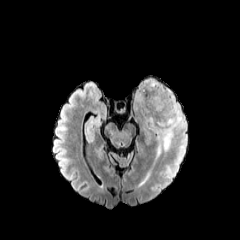
FLAIR MR.
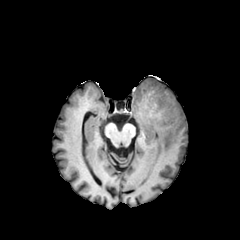
T1-weighted MR of the same slice.
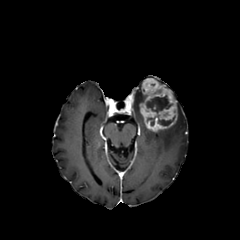
Same slice, post-contrast T1-weighted MRI.
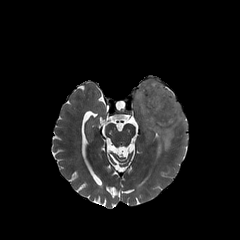
Same slice, T2-weighted magnetic resonance.
Axial plane.
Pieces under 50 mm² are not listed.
enhancing tumor: (139,78,177,131) | necrotic tumor core: (146,95,172,113), (158,117,174,125) | peritumoral edema: (154,102,186,156), (135,87,146,108)